Brain
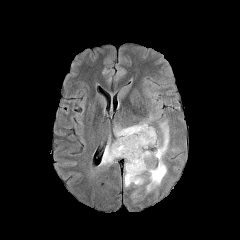
FLAIR MR image.
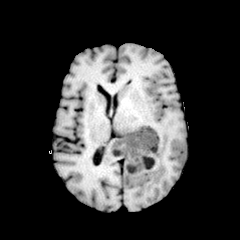
Same slice, T1-weighted MRI.
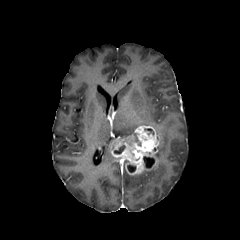
Post-contrast T1-weighted MRI.
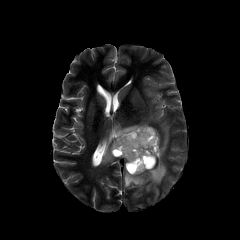
T2-weighted magnetic resonance of the same slice.
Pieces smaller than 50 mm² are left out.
enhancing tumor: (110,125,159,175) | peritumoral edema: (146,122,168,191), (115,123,147,137), (101,143,115,164), (124,171,144,187) | necrotic tumor core: (127,164,135,172), (114,145,125,154), (143,156,154,168)